FLAIR MR image.
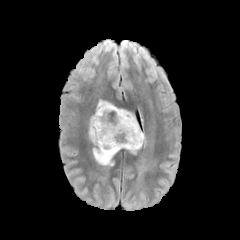
T1-weighted magnetic resonance.
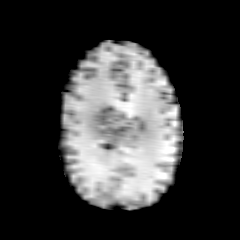
Post-contrast T1-weighted magnetic resonance.
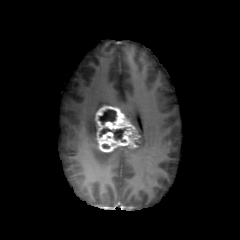
T2-weighted magnetic resonance.
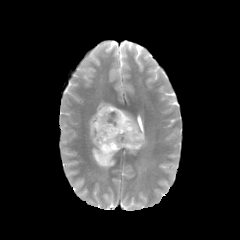
Brain; Axial view
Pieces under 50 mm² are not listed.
peritumoral edema = l=97, t=101, r=114, b=110; l=89, t=115, r=97, b=144; l=93, t=109, r=145, b=167
necrotic tumor core = l=99, t=110, r=115, b=123; l=113, t=129, r=124, b=139
enhancing tumor = l=95, t=105, r=140, b=152